Axial view; Head
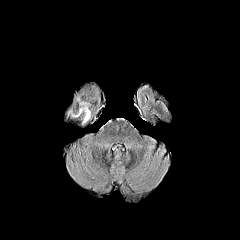
FLAIR magnetic resonance.
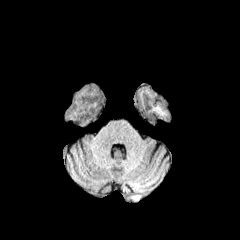
T1-weighted MR of the same slice.
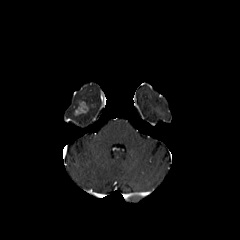
Post-contrast T1-weighted magnetic resonance of the same slice.
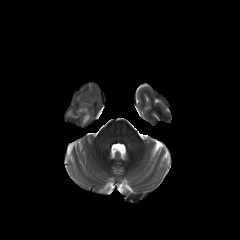
T2-weighted MR of the same slice.
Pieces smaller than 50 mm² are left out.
peritumoral edema — x1=68 y1=109 x2=80 y2=117, x1=82 y1=110 x2=90 y2=124
enhancing tumor — x1=74 y1=101 x2=88 y2=115